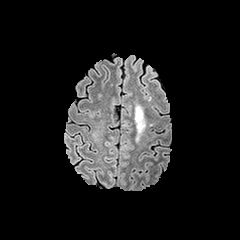
FLAIR MRI.
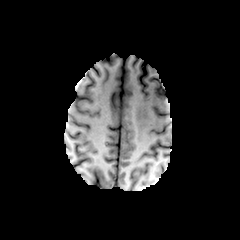
T1-weighted MR image.
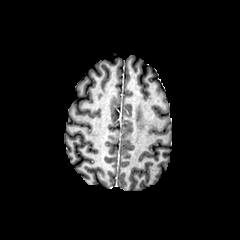
Same slice, post-contrast T1-weighted MR image.
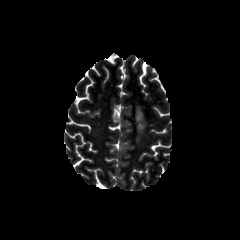
Same slice, T2-weighted MR image.
Axial plane.
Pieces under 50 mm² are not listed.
peritumoral edema — 135,105,146,140